Image size 240x240, Axial view
FLAIR MRI.
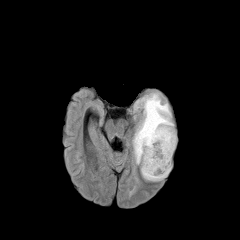
T1-weighted MRI.
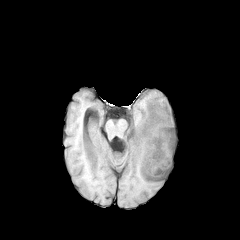
Post-contrast T1-weighted magnetic resonance.
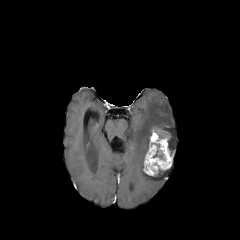
T2-weighted MR.
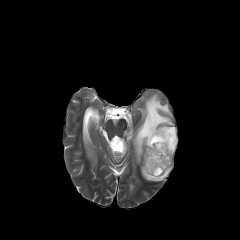
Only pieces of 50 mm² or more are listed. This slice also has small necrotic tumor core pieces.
{"peritumoral_edema": [{"x1": 133, "y1": 93, "x2": 176, "y2": 181}], "enhancing_tumor": [{"x1": 143, "y1": 128, "x2": 173, "y2": 176}]}